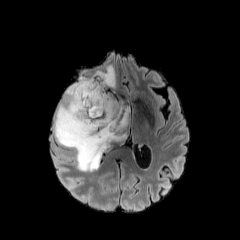
FLAIR MR image.
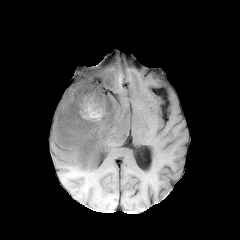
Same slice, T1-weighted MR image.
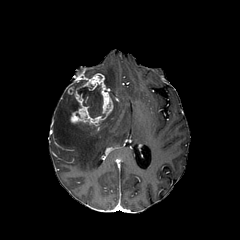
Post-contrast T1-weighted MRI.
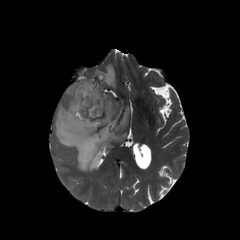
Same slice, T2-weighted MRI.
240x240 px | Head
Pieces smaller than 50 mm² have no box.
necrotic tumor core: (77, 85, 105, 118)
peritumoral edema: (84, 65, 116, 88), (54, 89, 129, 171)
enhancing tumor: (68, 73, 113, 130)